Slice 107/155. Head.
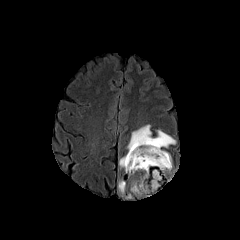
FLAIR magnetic resonance.
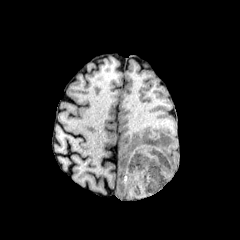
T1-weighted MR image.
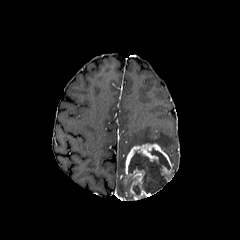
Post-contrast T1-weighted magnetic resonance of the same slice.
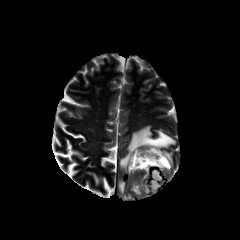
T2-weighted MRI.
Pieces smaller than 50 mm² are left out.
• enhancing tumor: x1=124 y1=143 x2=173 y2=198
• necrotic tumor core: x1=128 y1=149 x2=170 y2=192, x1=133 y1=185 x2=140 y2=194
• peritumoral edema: x1=119 y1=155 x2=126 y2=169, x1=118 y1=180 x2=125 y2=194, x1=127 y1=125 x2=175 y2=152